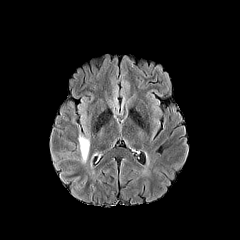
FLAIR MRI.
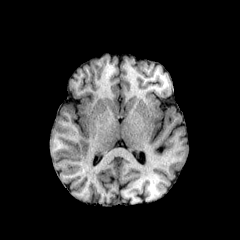
Same slice, T1-weighted MRI.
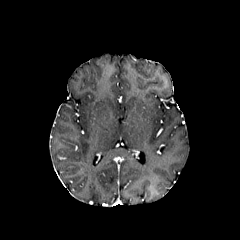
Post-contrast T1-weighted MR image of the same slice.
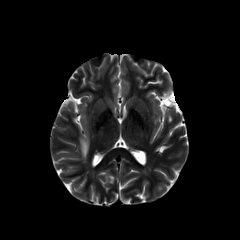
Same slice, T2-weighted MR.
Axial view, 240x240, Head
<segmentation>
  <peritumoral_edema>(left=79, top=135, right=89, bottom=162)</peritumoral_edema>
</segmentation>